Slice 83 of 155; Image width 240 mm
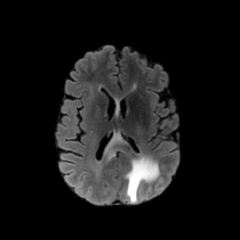
FLAIR MR.
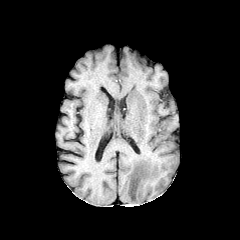
Same slice, T1-weighted MR image.
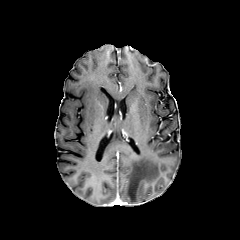
Post-contrast T1-weighted MRI.
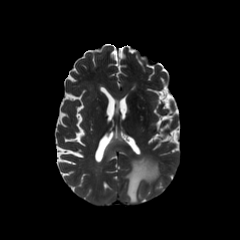
T2-weighted MR image.
Annotated regions:
- peritumoral edema: box(103, 133, 128, 158); box(126, 156, 159, 203)